FLAIR MRI.
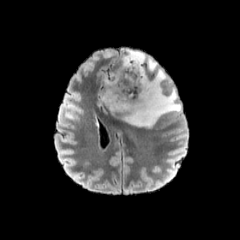
T1-weighted MR image.
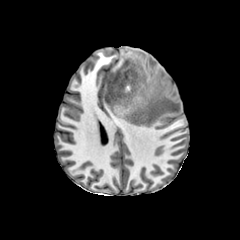
Post-contrast T1-weighted magnetic resonance.
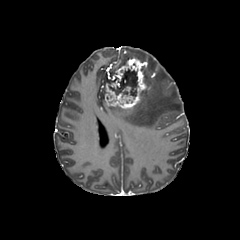
T2-weighted MR image.
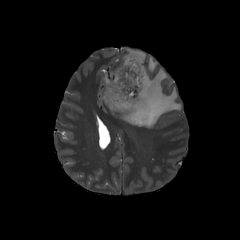
Head
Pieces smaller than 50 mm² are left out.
peritumoral edema: [x1=108, y1=66, x2=181, y2=128], [x1=148, y1=57, x2=157, y2=72], [x1=122, y1=49, x2=146, y2=64]
necrotic tumor core: [x1=109, y1=69, x2=137, y2=97]
enhancing tumor: [x1=104, y1=58, x2=150, y2=110]